Slice 58 of 155. Image covers 240 mm x 240 mm.
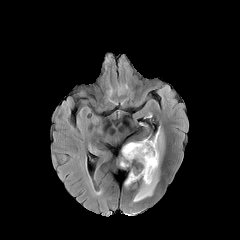
FLAIR MR.
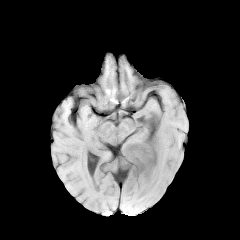
T1-weighted MRI.
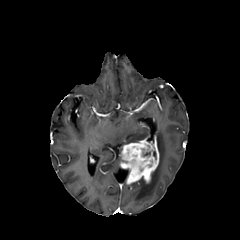
Post-contrast T1-weighted MRI.
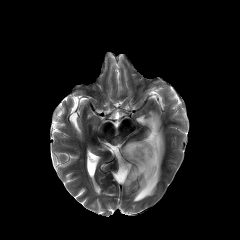
T2-weighted MRI of the same slice.
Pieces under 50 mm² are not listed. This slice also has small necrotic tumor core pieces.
The enhancing tumor lies within 119,136,159,184. The largest peritumoral edema region lies within 133,128,164,202.